240x240 | Head | Axial plane
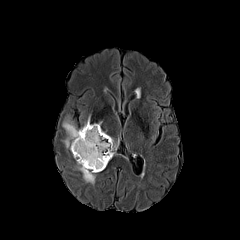
FLAIR MR image.
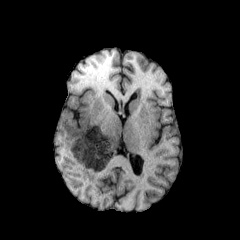
T1-weighted MRI.
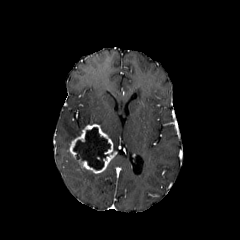
Post-contrast T1-weighted magnetic resonance.
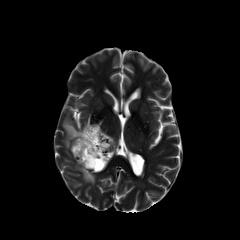
T2-weighted MR.
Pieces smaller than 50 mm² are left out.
enhancing tumor: bounding box left=69, top=124, right=117, bottom=173
peritumoral edema: bounding box left=110, top=137, right=118, bottom=150; left=75, top=162, right=101, bottom=184; left=62, top=115, right=90, bottom=150
necrotic tumor core: bounding box left=73, top=127, right=110, bottom=170